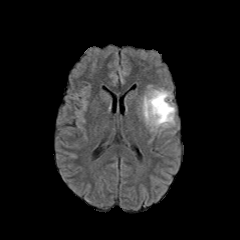
FLAIR MRI.
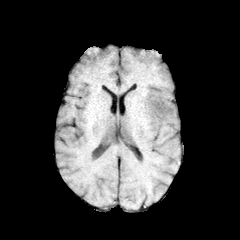
Same slice, T1-weighted MR.
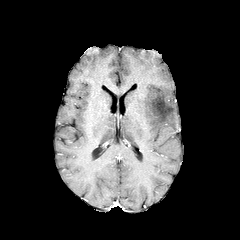
Same slice, post-contrast T1-weighted MR image.
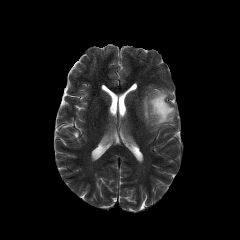
T2-weighted MR of the same slice.
Axial slice. Image size 240x240.
The peritumoral edema appears at x1=142, y1=89, x2=175, y2=130.